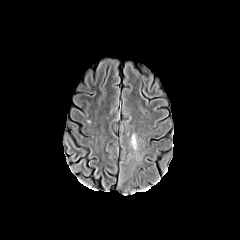
FLAIR MR image.
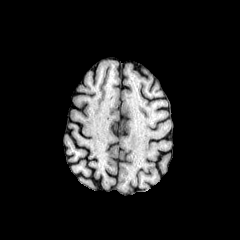
T1-weighted MR image.
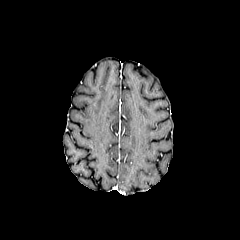
Post-contrast T1-weighted MR of the same slice.
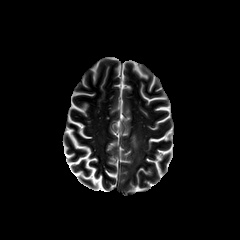
T2-weighted MRI.
Axial slice
peritumoral edema: bounding box bbox=[131, 135, 136, 148]